FLAIR MR image.
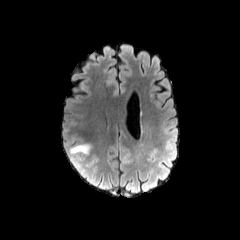
T1-weighted MR.
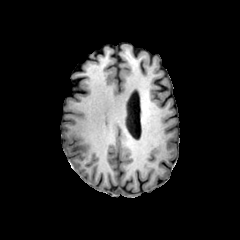
Post-contrast T1-weighted MR image.
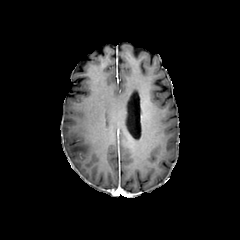
T2-weighted magnetic resonance.
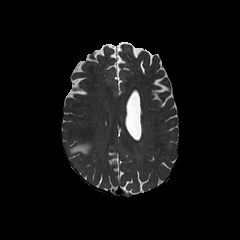
Axial slice
peritumoral edema = box(69, 144, 90, 154)